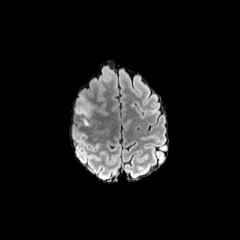
FLAIR MR image.
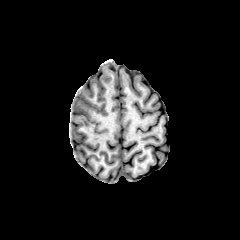
T1-weighted MR.
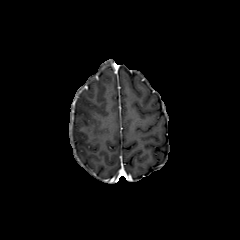
Post-contrast T1-weighted MR image of the same slice.
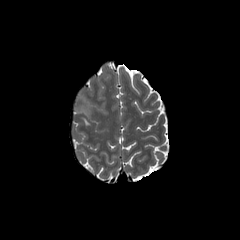
T2-weighted MR of the same slice.
Brain
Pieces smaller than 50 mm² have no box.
peritumoral edema — 76,95,90,116